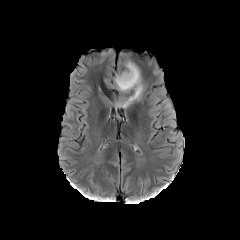
FLAIR MR.
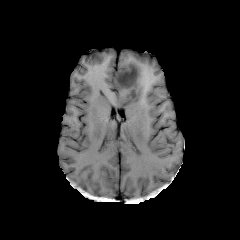
T1-weighted MR.
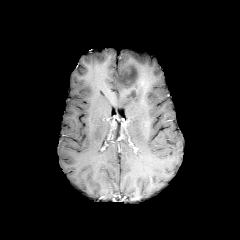
Post-contrast T1-weighted MR.
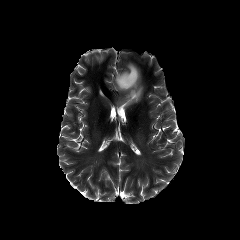
T2-weighted magnetic resonance.
Axial view.
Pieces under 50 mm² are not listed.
The peritumoral edema appears at (114, 61, 143, 107). The largest necrotic tumor core region is located at (118, 70, 136, 86).